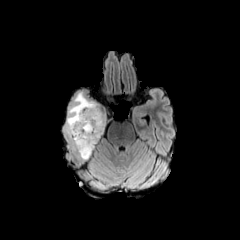
FLAIR MRI.
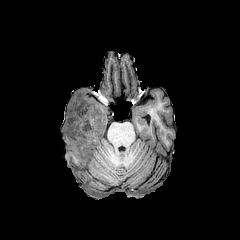
T1-weighted MRI.
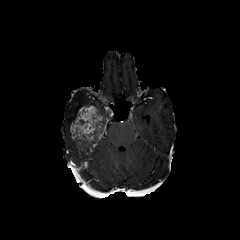
Post-contrast T1-weighted MRI of the same slice.
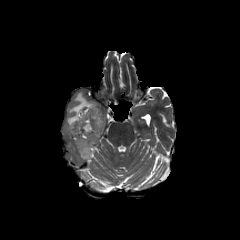
T2-weighted MRI.
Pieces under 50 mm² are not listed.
Segmented structures:
• peritumoral edema: (77,148,94,159), (64,91,103,154)
• necrotic tumor core: (91,116,105,134), (75,137,81,153)
• enhancing tumor: (69,105,106,155)